Slice index 95, Brain, Image size 240x240
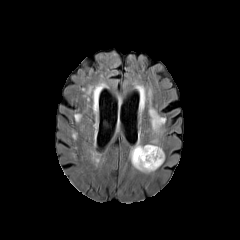
FLAIR magnetic resonance.
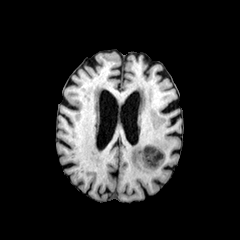
T1-weighted MR.
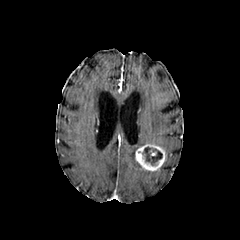
Post-contrast T1-weighted MR of the same slice.
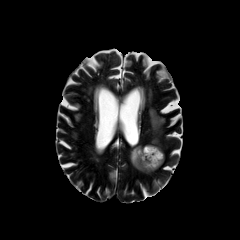
T2-weighted MRI.
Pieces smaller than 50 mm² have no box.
enhancing tumor — rect(135, 144, 165, 171)
peritumoral edema — rect(129, 142, 151, 173); rect(150, 138, 159, 145); rect(149, 108, 165, 133)
necrotic tumor core — rect(142, 147, 162, 165)